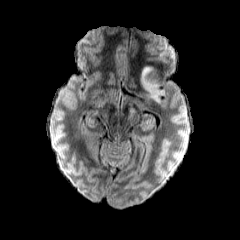
FLAIR MR image.
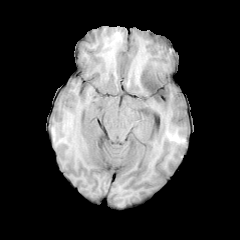
Same slice, T1-weighted MR.
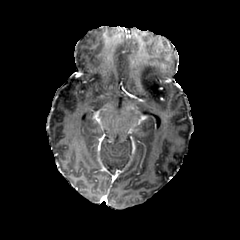
Same slice, post-contrast T1-weighted MR image.
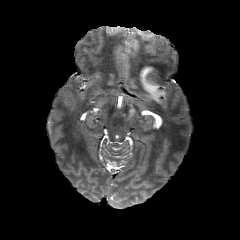
T2-weighted MRI of the same slice.
Axial slice. Brain. Image size 240x240.
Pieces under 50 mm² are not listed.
The largest peritumoral edema region lies within 140, 64, 165, 102.